FLAIR magnetic resonance.
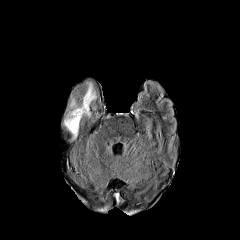
T1-weighted MR image.
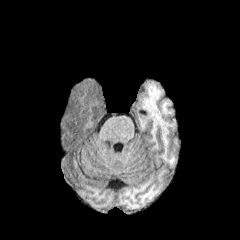
Post-contrast T1-weighted magnetic resonance.
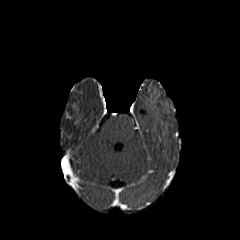
T2-weighted MR.
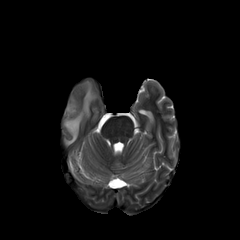
Head.
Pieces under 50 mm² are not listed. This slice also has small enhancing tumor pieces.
The peritumoral edema is located at (x1=64, y1=82, x2=96, y2=140).